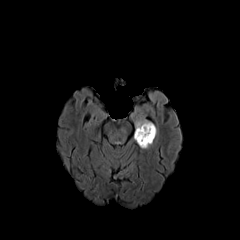
FLAIR MRI.
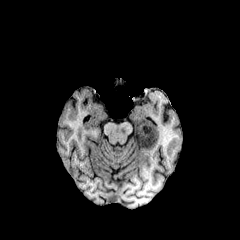
T1-weighted MR image of the same slice.
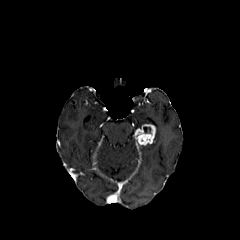
Post-contrast T1-weighted magnetic resonance of the same slice.
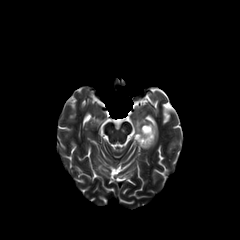
Same slice, T2-weighted MRI.
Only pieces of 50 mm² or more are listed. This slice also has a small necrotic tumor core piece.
Findings:
- peritumoral edema: [135,118,152,128]
- enhancing tumor: [134,124,155,145]